Image width 240 mm, 1.00 mm slice spacing | 240x240 px | Axial view
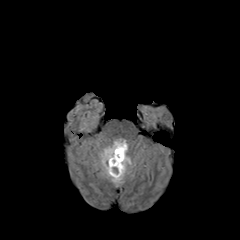
FLAIR MR image.
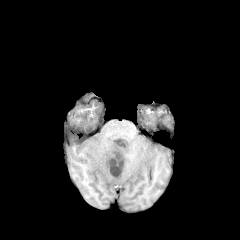
Same slice, T1-weighted magnetic resonance.
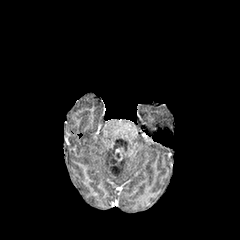
Post-contrast T1-weighted MRI.
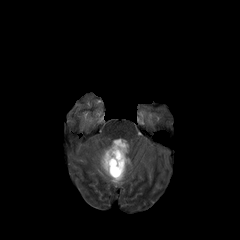
T2-weighted magnetic resonance.
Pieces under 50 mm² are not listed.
peritumoral edema: <box>99,139,131,185</box> | necrotic tumor core: <box>111,166,120,175</box> | enhancing tumor: <box>108,148,123,176</box>